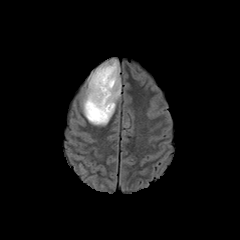
FLAIR MRI.
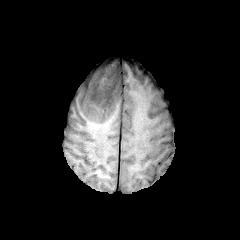
T1-weighted MRI.
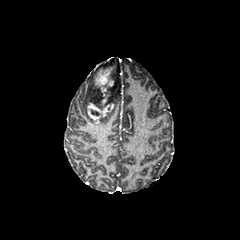
Post-contrast T1-weighted MR image of the same slice.
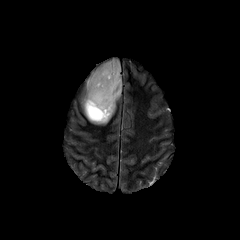
T2-weighted magnetic resonance.
Brain | 240x240
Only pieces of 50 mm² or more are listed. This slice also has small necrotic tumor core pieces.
Annotated regions:
* enhancing tumor: box(87, 64, 116, 122)
* peritumoral edema: box(82, 59, 121, 125)